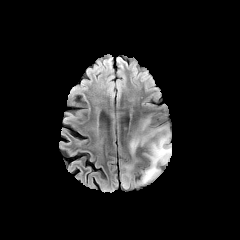
FLAIR MRI.
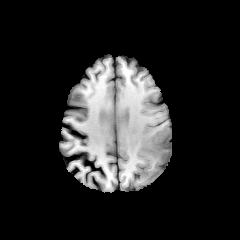
T1-weighted MRI.
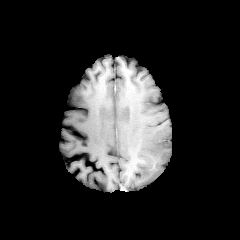
Same slice, post-contrast T1-weighted magnetic resonance.
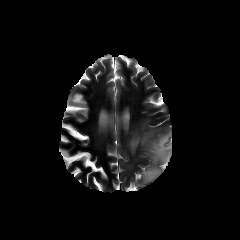
T2-weighted MR.
Axial slice. 240x240.
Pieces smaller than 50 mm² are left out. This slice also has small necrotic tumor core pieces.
The largest peritumoral edema region lies within (130, 126, 171, 183). The largest enhancing tumor region is at (160, 139, 170, 149).